Axial plane | Slice index 82
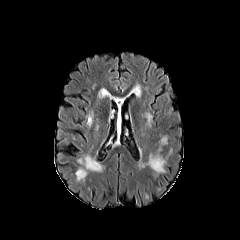
FLAIR magnetic resonance.
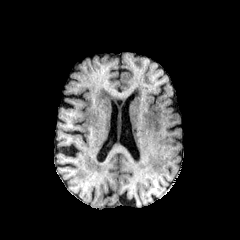
T1-weighted magnetic resonance.
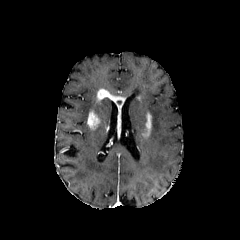
Post-contrast T1-weighted magnetic resonance.
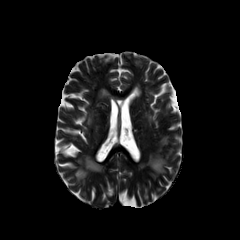
T2-weighted magnetic resonance.
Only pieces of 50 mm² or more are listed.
The largest peritumoral edema region lies within bbox=[128, 84, 141, 97]. The 3 largest enhancing tumor regions appear at bbox=[143, 113, 151, 136]; bbox=[97, 89, 124, 110]; bbox=[87, 111, 99, 128].